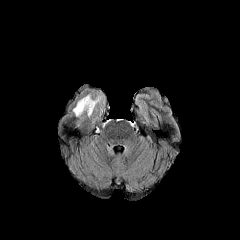
FLAIR MR image.
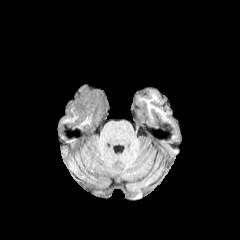
T1-weighted MR image.
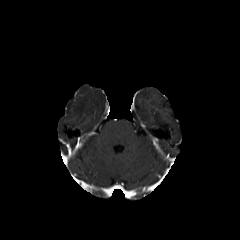
Post-contrast T1-weighted MR of the same slice.
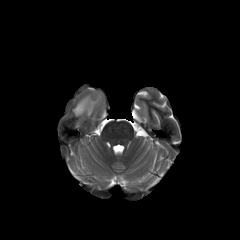
Same slice, T2-weighted MR image.
Brain
The peritumoral edema appears at [73, 91, 104, 118].